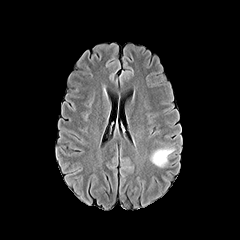
FLAIR magnetic resonance.
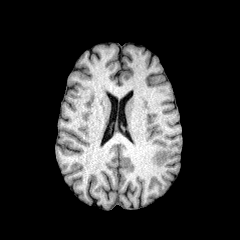
T1-weighted MR image.
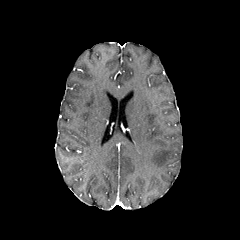
Post-contrast T1-weighted magnetic resonance of the same slice.
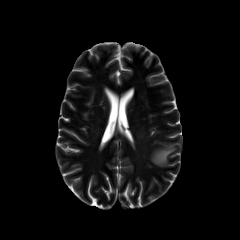
T2-weighted MR.
Axial plane
peritumoral edema — <box>151,148,174,167</box>